FLAIR MR image.
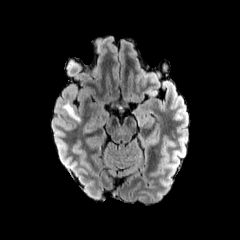
T1-weighted MR.
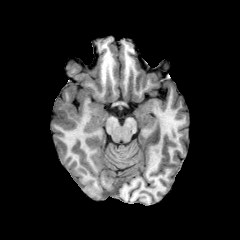
Post-contrast T1-weighted MR image.
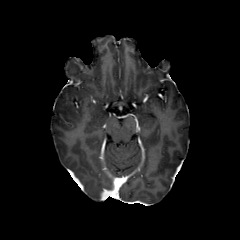
T2-weighted MRI.
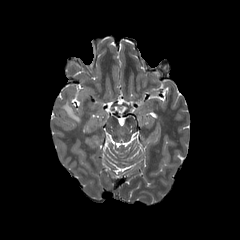
Brain.
peritumoral_edema:
  - 63:102:80:121